FLAIR MR.
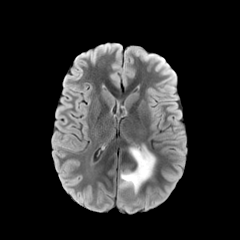
T1-weighted MR image.
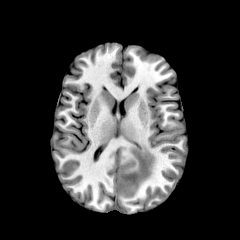
Post-contrast T1-weighted MR image.
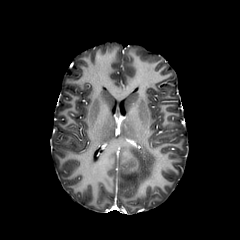
T2-weighted MRI.
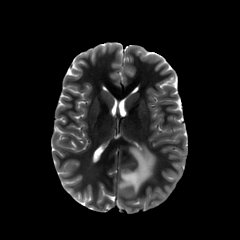
Axial slice, Head
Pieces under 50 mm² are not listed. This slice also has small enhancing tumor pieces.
<segmentation>
  <peritumoral_edema>[x1=119, y1=145, x2=155, y2=193]</peritumoral_edema>
  <necrotic_tumor_core>[x1=120, y1=155, x2=137, y2=173]</necrotic_tumor_core>
</segmentation>